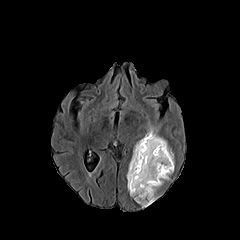
FLAIR MR.
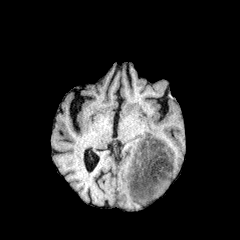
Same slice, T1-weighted MR.
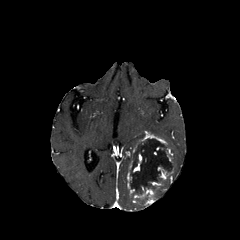
Post-contrast T1-weighted MRI.
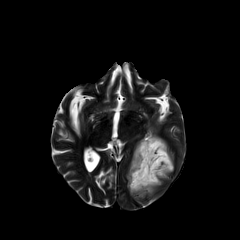
T2-weighted MRI.
Head. 240x240 px.
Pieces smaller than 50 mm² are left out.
peritumoral edema = box=[147, 124, 159, 136]
enhancing tumor = box=[133, 186, 156, 206]; box=[157, 166, 173, 181]; box=[166, 148, 173, 164]; box=[127, 160, 134, 195]; box=[149, 182, 162, 188]; box=[133, 153, 142, 172]; box=[139, 132, 167, 145]
necrotic tumor core = box=[130, 139, 173, 195]